Axial view
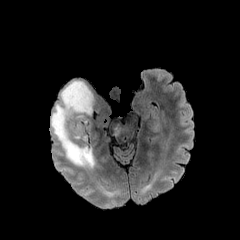
FLAIR MR.
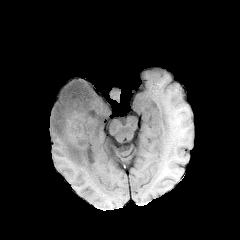
T1-weighted MRI of the same slice.
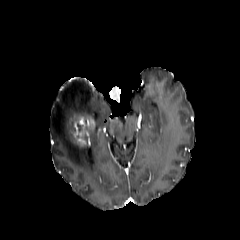
Post-contrast T1-weighted magnetic resonance.
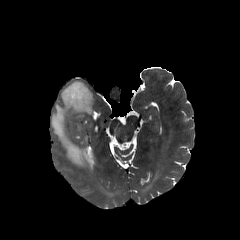
Same slice, T2-weighted magnetic resonance.
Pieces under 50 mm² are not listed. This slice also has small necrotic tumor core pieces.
peritumoral edema: bounding box left=51, top=81, right=93, bottom=169; left=114, top=127, right=121, bottom=136
enhancing tumor: bounding box left=73, top=117, right=94, bottom=145